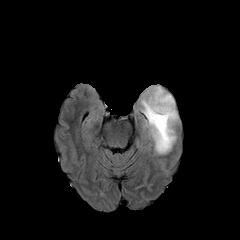
FLAIR MR image.
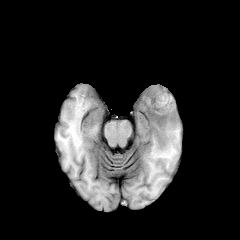
T1-weighted MR image of the same slice.
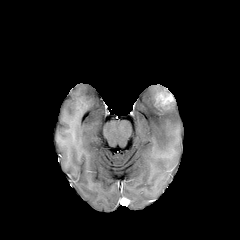
Post-contrast T1-weighted MRI.
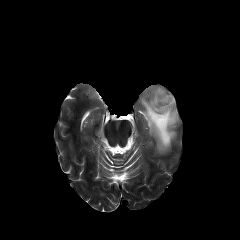
T2-weighted MRI.
Brain | Axial slice
<segmentation>
  <peritumoral_edema>(140, 85, 179, 154)</peritumoral_edema>
  <enhancing_tumor>(155, 90, 173, 108)</enhancing_tumor>
</segmentation>